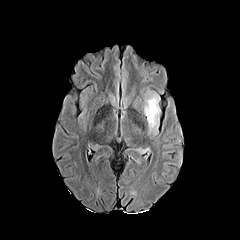
FLAIR MRI.
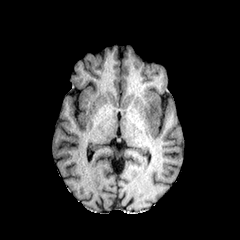
Same slice, T1-weighted MR.
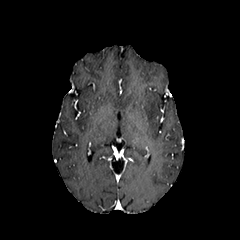
Post-contrast T1-weighted magnetic resonance of the same slice.
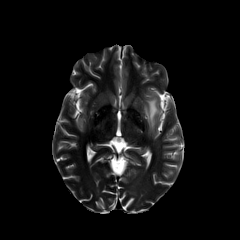
Same slice, T2-weighted MR.
240x240 px, Axial view, Head
peritumoral edema — [144,96,159,128]